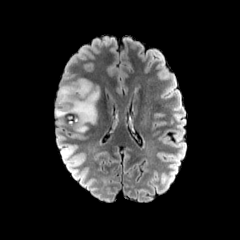
FLAIR MR.
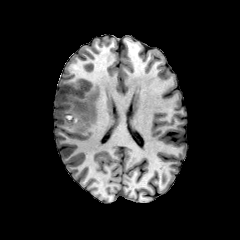
T1-weighted magnetic resonance.
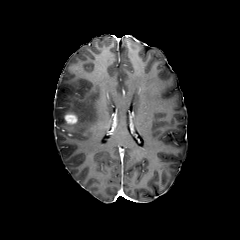
Post-contrast T1-weighted magnetic resonance of the same slice.
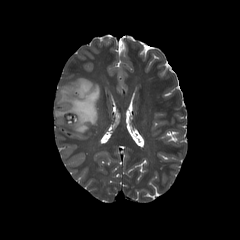
T2-weighted MR image.
Head
enhancing tumor: (left=63, top=111, right=77, bottom=123) | peritumoral edema: (left=55, top=78, right=99, bottom=132)